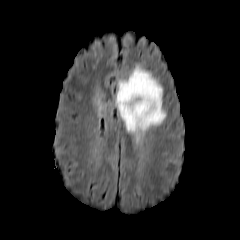
FLAIR magnetic resonance.
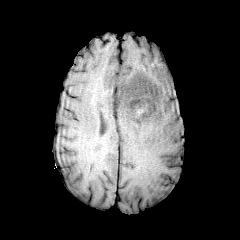
T1-weighted MRI of the same slice.
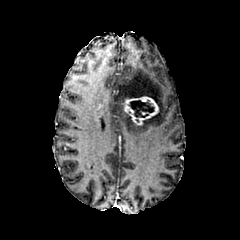
Post-contrast T1-weighted MRI of the same slice.
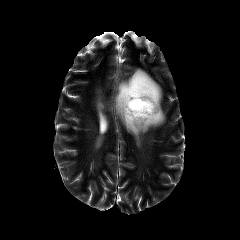
T2-weighted MR of the same slice.
Head
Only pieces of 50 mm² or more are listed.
enhancing tumor: rect(123, 96, 158, 125)
necrotic tumor core: rect(129, 100, 154, 117)
peritumoral edema: rect(115, 66, 165, 140)